Axial plane
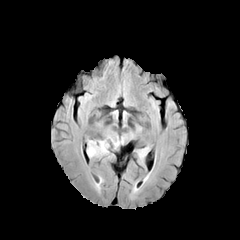
FLAIR MRI.
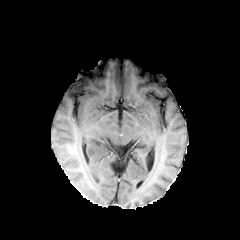
Same slice, T1-weighted MR.
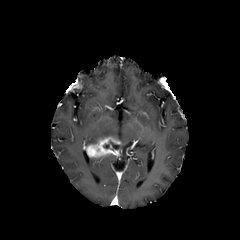
Post-contrast T1-weighted MR.
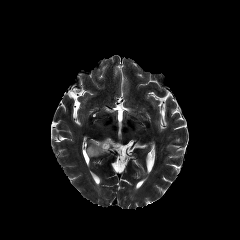
T2-weighted MR image of the same slice.
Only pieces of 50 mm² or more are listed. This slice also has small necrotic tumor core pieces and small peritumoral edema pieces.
Segmented structures:
* enhancing tumor: x1=86 y1=137 x2=121 y2=157